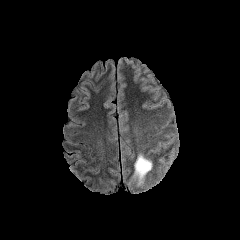
FLAIR magnetic resonance.
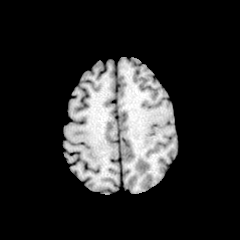
T1-weighted MR image of the same slice.
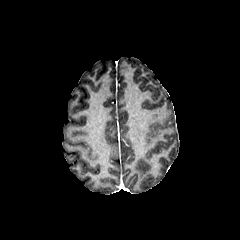
Post-contrast T1-weighted MR image.
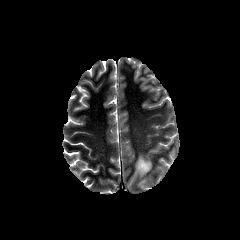
T2-weighted MRI.
peritumoral edema at (left=135, top=155, right=151, bottom=183)